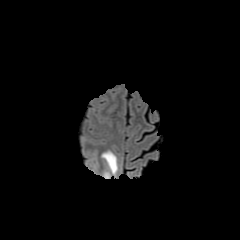
FLAIR MR.
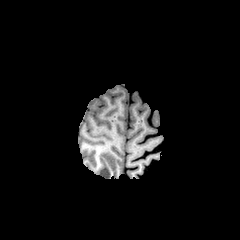
T1-weighted MR of the same slice.
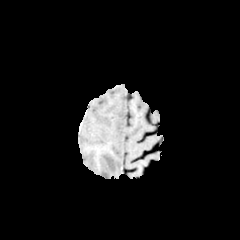
Post-contrast T1-weighted MR.
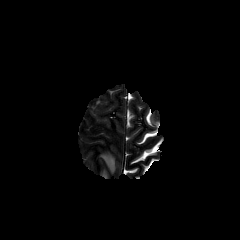
T2-weighted MR image of the same slice.
Brain
peritumoral_edema:
  - 101:151:118:178